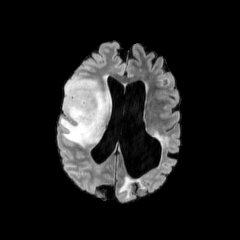
FLAIR MR.
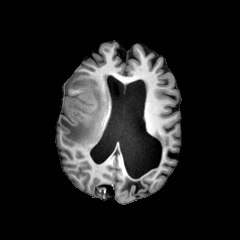
T1-weighted magnetic resonance.
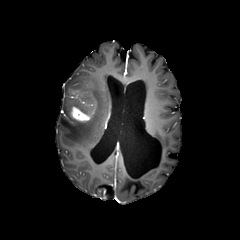
Same slice, post-contrast T1-weighted magnetic resonance.
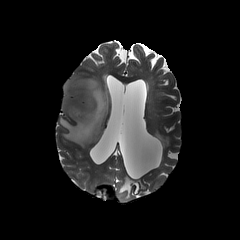
T2-weighted MR.
Image size 240x240. Head.
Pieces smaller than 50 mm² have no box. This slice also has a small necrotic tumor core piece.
The largest peritumoral edema region is bounded by l=59, t=76, r=111, b=146. The enhancing tumor is located at l=70, t=92, r=95, b=121.